FLAIR MR image.
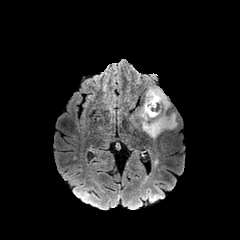
T1-weighted MR.
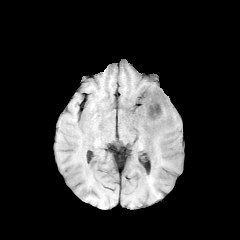
Post-contrast T1-weighted MRI.
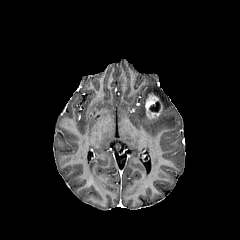
T2-weighted MRI.
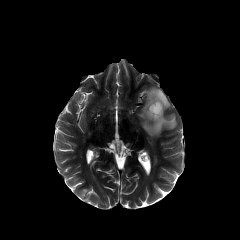
Axial plane. Brain. 240x240.
Annotated regions:
* peritumoral edema: bbox(137, 86, 177, 137)
* enhancing tumor: bbox(145, 93, 162, 119)
* necrotic tumor core: bbox(149, 101, 160, 112)